Axial slice, Head, Image size 240x240, Slice index 87
FLAIR MRI.
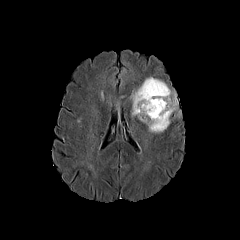
T1-weighted MRI.
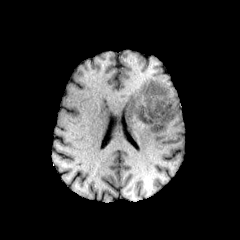
Post-contrast T1-weighted MRI.
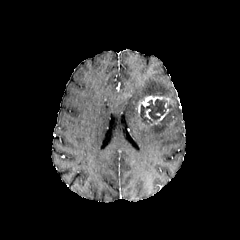
T2-weighted magnetic resonance.
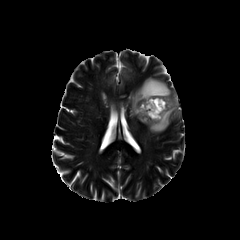
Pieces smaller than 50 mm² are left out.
{"peritumoral_edema": [{"x1": 130, "y1": 77, "x2": 180, "y2": 133}], "enhancing_tumor": [{"x1": 136, "y1": 95, "x2": 175, "y2": 125}], "necrotic_tumor_core": [{"x1": 140, "y1": 99, "x2": 166, "y2": 122}]}